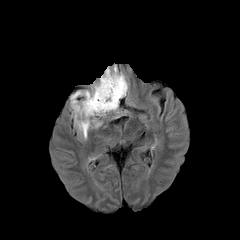
FLAIR MRI.
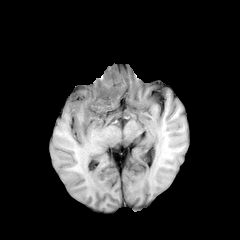
Same slice, T1-weighted MRI.
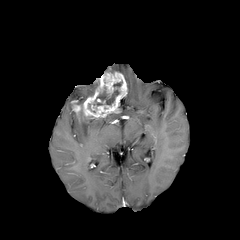
Post-contrast T1-weighted MR image.
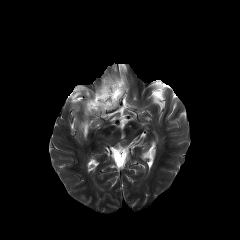
T2-weighted MR image.
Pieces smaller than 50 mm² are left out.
Annotated regions:
* enhancing tumor: 71,71,127,119
* necrotic tumor core: 88,82,122,112
* peritumoral edema: 73,111,101,139; 70,90,94,100